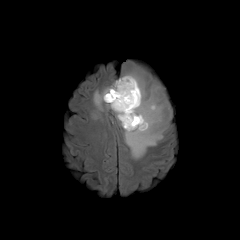
FLAIR magnetic resonance.
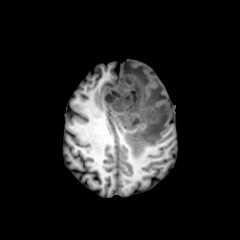
Same slice, T1-weighted MRI.
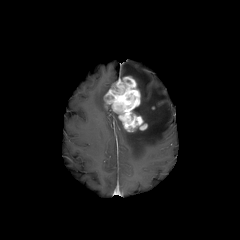
Post-contrast T1-weighted MRI of the same slice.
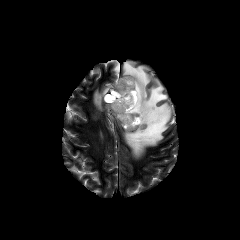
T2-weighted MRI.
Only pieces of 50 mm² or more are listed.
The enhancing tumor lies within x1=104 y1=76 x2=147 y2=131. 2 peritumoral edema regions appear at x1=112 y1=63 x2=171 y2=159, x1=93 y1=86 x2=111 y2=110. The largest necrotic tumor core region appears at x1=105 y1=91 x2=118 y2=102.